FLAIR MR.
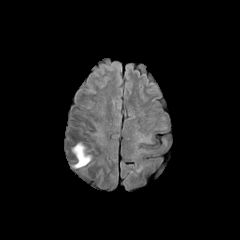
T1-weighted MR image.
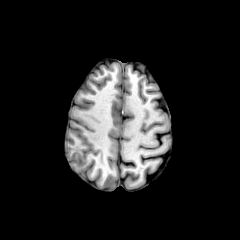
Post-contrast T1-weighted MR.
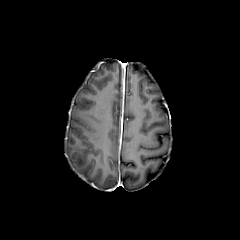
T2-weighted MRI.
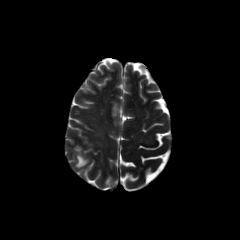
Segmented structures:
* peritumoral edema: left=73, top=144, right=90, bottom=167